FLAIR MR.
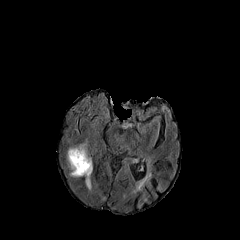
T1-weighted MRI.
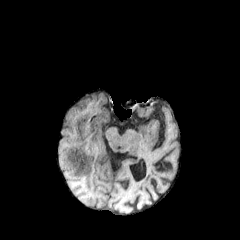
Post-contrast T1-weighted magnetic resonance.
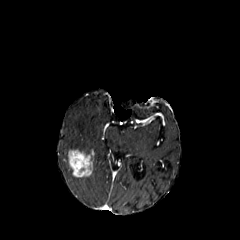
T2-weighted MRI.
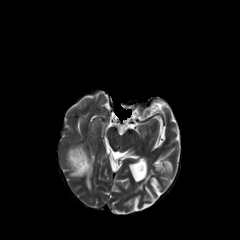
Brain; 240x240
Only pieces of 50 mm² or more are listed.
enhancing_tumor:
  - (68, 149, 92, 177)
peritumoral_edema:
  - (85, 176, 91, 190)
  - (69, 143, 89, 154)